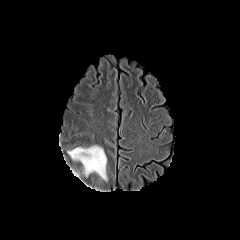
FLAIR magnetic resonance.
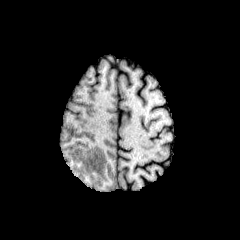
Same slice, T1-weighted MR image.
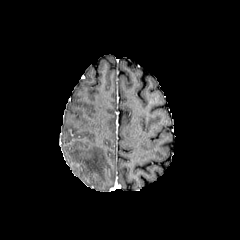
Post-contrast T1-weighted MRI.
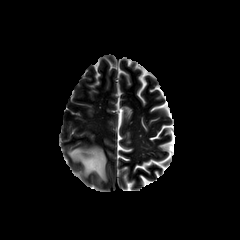
T2-weighted MR image of the same slice.
Axial view
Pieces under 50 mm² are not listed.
The largest peritumoral edema region is bounded by bbox(68, 145, 107, 180).